Slice index 113; Head; Axial view
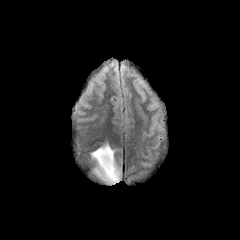
FLAIR magnetic resonance.
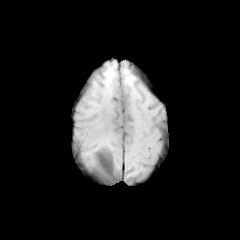
T1-weighted magnetic resonance.
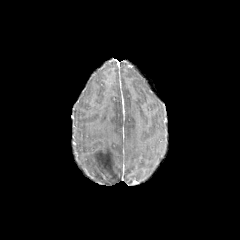
Same slice, post-contrast T1-weighted MR.
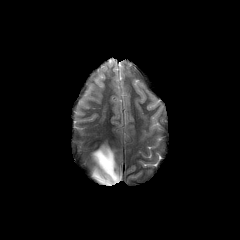
Same slice, T2-weighted magnetic resonance.
The peritumoral edema is at [91, 143, 121, 184].